Image size 240x240 | Slice index 49 | Brain | Image covers 240 mm x 240 mm | Axial plane
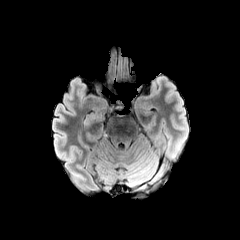
FLAIR MR.
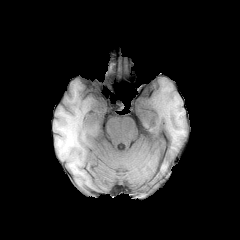
T1-weighted magnetic resonance.
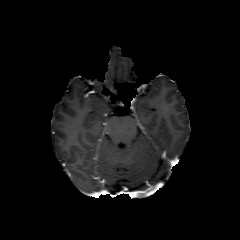
Same slice, post-contrast T1-weighted magnetic resonance.
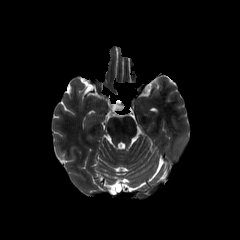
Same slice, T2-weighted MRI.
The peritumoral edema appears at {"x1": 173, "y1": 131, "x2": 186, "y2": 155}.